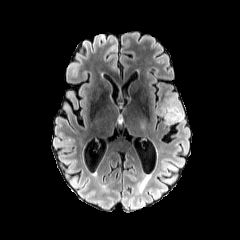
FLAIR MR.
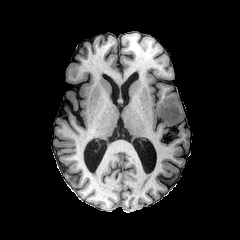
T1-weighted MR image.
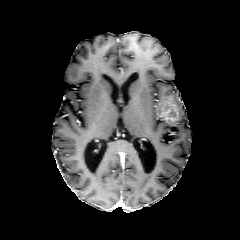
Post-contrast T1-weighted MR.
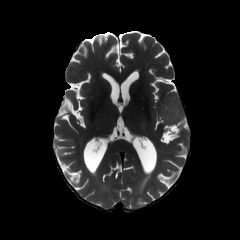
Same slice, T2-weighted magnetic resonance.
240x240, Head
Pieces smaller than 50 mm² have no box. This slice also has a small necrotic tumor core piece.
enhancing tumor — x1=156, y1=96, x2=180, y2=124
peritumoral edema — x1=169, y1=94, x2=183, y2=121